Axial view. Image covers 240 mm x 240 mm. 240x240 px. Slice 74 of 155. Head.
FLAIR MR.
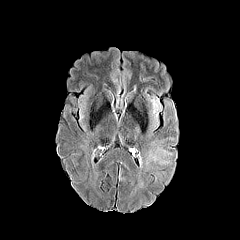
T1-weighted MRI.
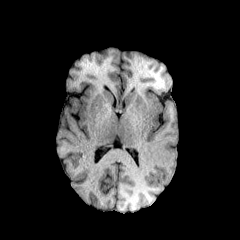
Post-contrast T1-weighted magnetic resonance.
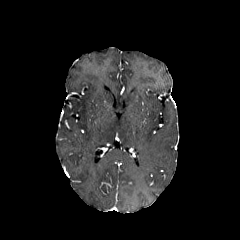
T2-weighted MR image.
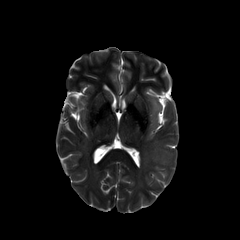
Findings:
• peritumoral edema: x1=146 y1=139 x2=175 y2=163